Image width 240 mm, Slice index 105, Axial slice
FLAIR magnetic resonance.
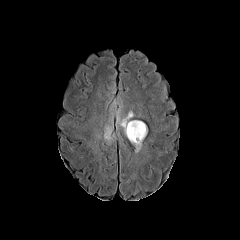
T1-weighted magnetic resonance.
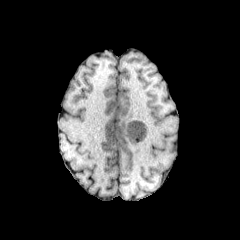
Post-contrast T1-weighted magnetic resonance.
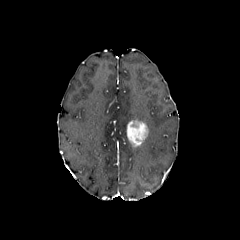
T2-weighted MR image.
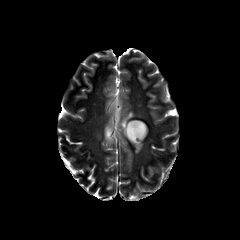
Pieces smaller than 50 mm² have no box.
The enhancing tumor is located at (x1=126, y1=120, x2=148, y2=147). The 2 largest peritumoral edema regions are bounded by (x1=115, y1=109, x2=133, y2=136), (x1=104, y1=126, x2=112, y2=140).